Brain | Axial slice | Slice 61/155
FLAIR MR image.
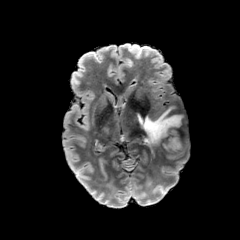
T1-weighted MR.
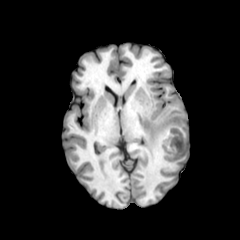
Post-contrast T1-weighted MR image.
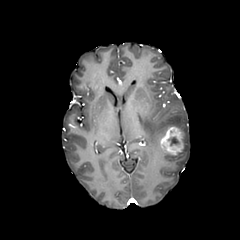
T2-weighted MR.
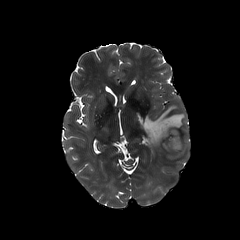
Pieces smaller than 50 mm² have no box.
Findings:
• enhancing tumor: region(160, 126, 183, 155)
• peritumoral edema: region(137, 106, 183, 147)
• necrotic tumor core: region(168, 137, 178, 145)